Slice index 62. Head.
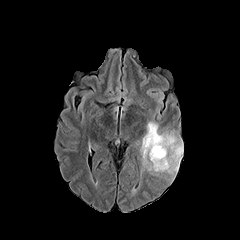
FLAIR MRI.
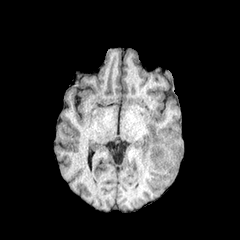
Same slice, T1-weighted MRI.
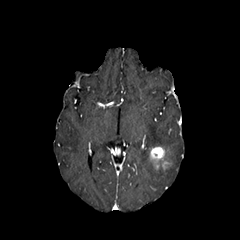
Post-contrast T1-weighted MR.
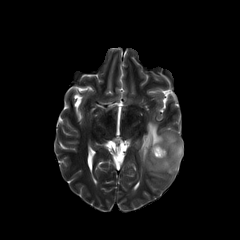
T2-weighted magnetic resonance.
peritumoral_edema:
  - 141,121,183,175
enhancing_tumor:
  - 149,146,170,169